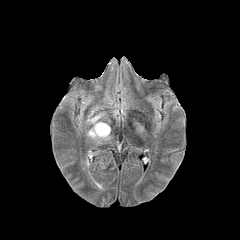
FLAIR MR image.
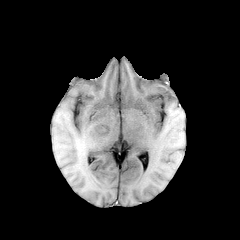
Same slice, T1-weighted MRI.
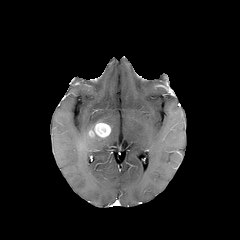
Post-contrast T1-weighted magnetic resonance of the same slice.
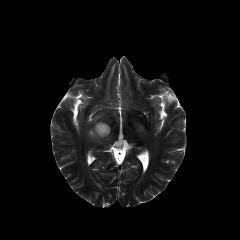
T2-weighted MRI.
Head
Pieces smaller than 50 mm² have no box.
<segmentation>
  <enhancing_tumor>region(89, 122, 110, 137)</enhancing_tumor>
  <peritumoral_edema>region(87, 113, 104, 130); region(91, 134, 110, 143)</peritumoral_edema>
</segmentation>